Slice 73 of 155 | 240x240 | Axial plane
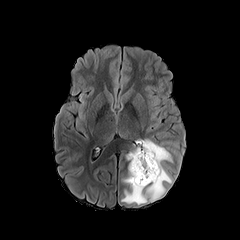
FLAIR magnetic resonance.
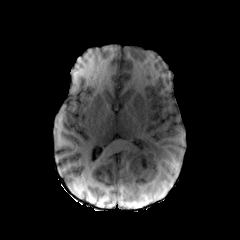
T1-weighted MRI.
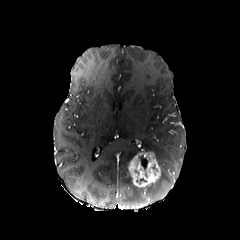
Post-contrast T1-weighted MR.
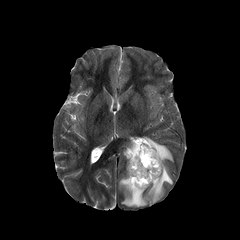
T2-weighted MR image.
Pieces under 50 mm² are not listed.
The enhancing tumor is located at x1=128, y1=150, x2=160, y2=187. 2 peritumoral edema regions are bounded by x1=126, y1=145, x2=141, y2=160; x1=120, y1=138, x2=174, y2=204. The largest necrotic tumor core region is at x1=139, y1=155, x2=147, y2=169.